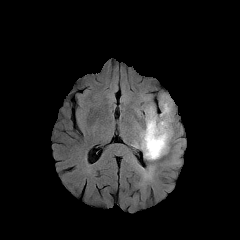
FLAIR magnetic resonance.
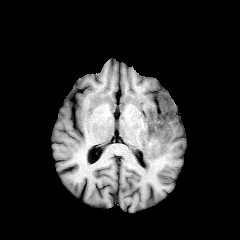
Same slice, T1-weighted MRI.
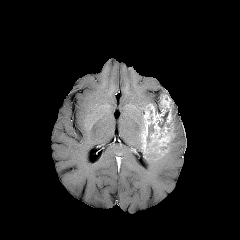
Post-contrast T1-weighted MRI.
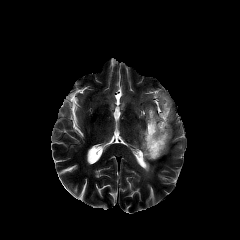
T2-weighted MR image.
Axial view. Brain.
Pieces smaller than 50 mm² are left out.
{"peritumoral_edema": ["x1=132 y1=123 x2=162 y2=178"], "enhancing_tumor": ["x1=141 y1=94 x2=173 y2=157"], "necrotic_tumor_core": ["x1=147 y1=125 x2=153 y2=143", "x1=158 y1=110 x2=168 y2=127", "x1=148 y1=143 x2=159 y2=156"]}